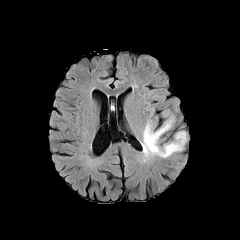
FLAIR MRI.
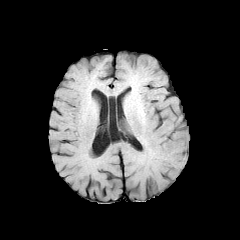
T1-weighted MR of the same slice.
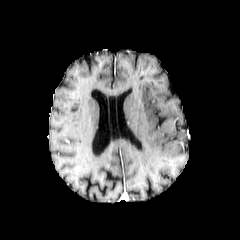
Post-contrast T1-weighted MRI of the same slice.
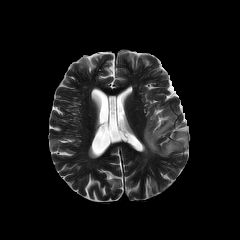
T2-weighted MR image of the same slice.
peritumoral edema: box(142, 118, 186, 156)